Image size 240x240; Brain
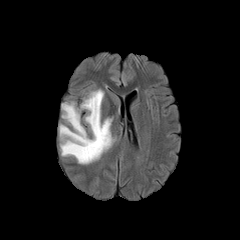
FLAIR MR.
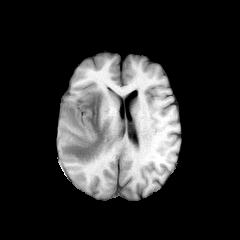
T1-weighted MR of the same slice.
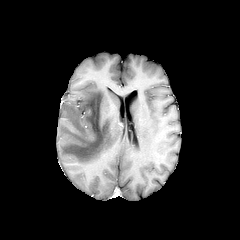
Post-contrast T1-weighted MR of the same slice.
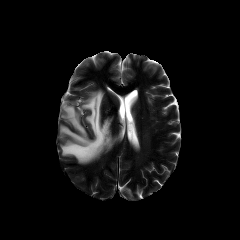
T2-weighted MR image.
peritumoral edema: box=[59, 89, 115, 164]